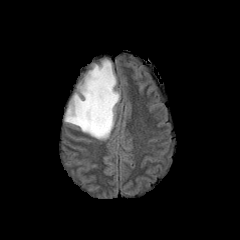
FLAIR magnetic resonance.
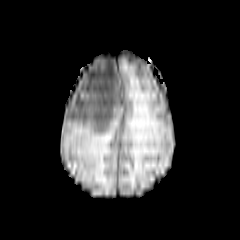
Same slice, T1-weighted MR image.
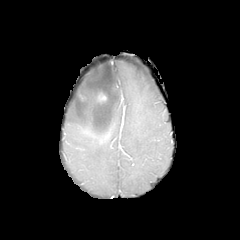
Post-contrast T1-weighted magnetic resonance.
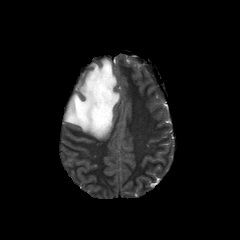
Same slice, T2-weighted MR image.
Brain
The peritumoral edema lies within bbox=[64, 59, 120, 139]. The enhancing tumor is bounded by bbox=[97, 92, 106, 102].